FLAIR MR.
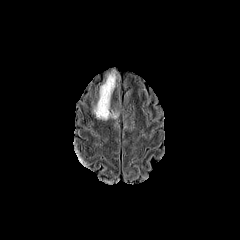
T1-weighted MR image.
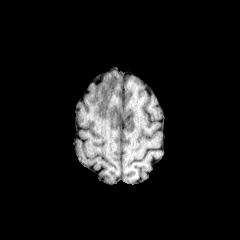
Post-contrast T1-weighted MR.
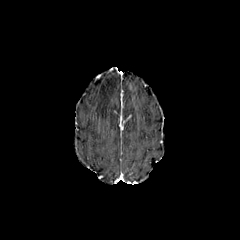
T2-weighted magnetic resonance.
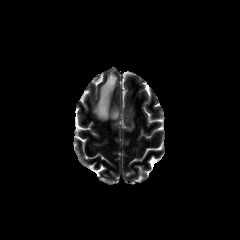
Brain.
peritumoral edema at bbox=[94, 73, 117, 119]